FLAIR MR image.
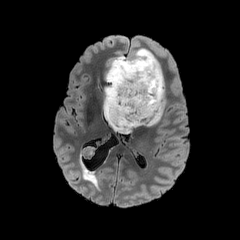
T1-weighted MRI.
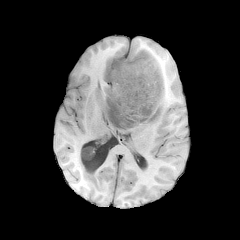
Post-contrast T1-weighted MR image.
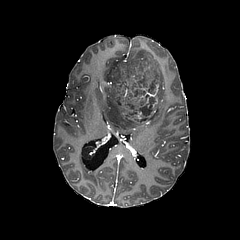
T2-weighted MR.
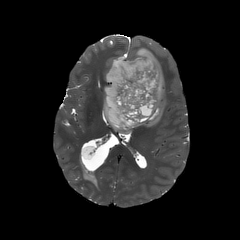
240x240; Head; Axial view
necrotic_tumor_core:
  - {"x1": 108, "y1": 54, "x2": 161, "y2": 128}
peritumoral_edema:
  - {"x1": 103, "y1": 85, "x2": 164, "y2": 133}
  - {"x1": 105, "y1": 56, "x2": 124, "y2": 82}
  - {"x1": 126, "y1": 48, "x2": 164, "y2": 97}